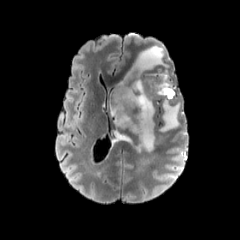
FLAIR magnetic resonance.
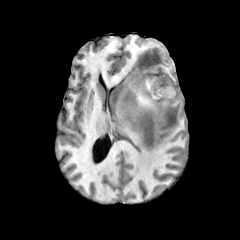
T1-weighted MR of the same slice.
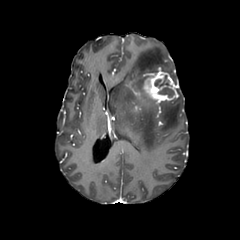
Same slice, post-contrast T1-weighted MRI.
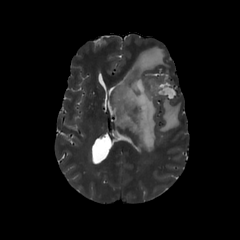
T2-weighted MRI.
Image size 240x240. Axial slice.
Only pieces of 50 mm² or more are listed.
The largest enhancing tumor region lies within bbox=[142, 71, 177, 103]. The necrotic tumor core is bounded by bbox=[154, 75, 174, 97]. The 3 largest peritumoral edema regions are located at bbox=[110, 46, 168, 151]; bbox=[115, 130, 130, 141]; bbox=[159, 101, 180, 131].